FLAIR MRI.
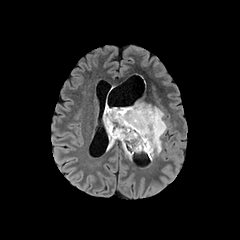
T1-weighted MRI.
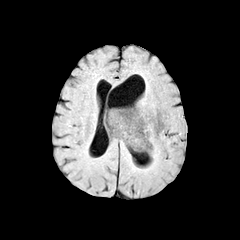
Post-contrast T1-weighted magnetic resonance.
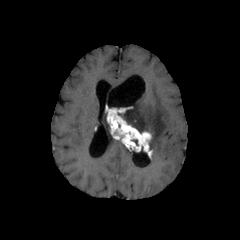
T2-weighted magnetic resonance.
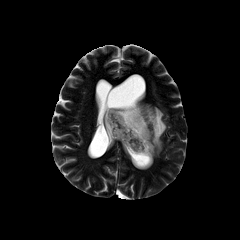
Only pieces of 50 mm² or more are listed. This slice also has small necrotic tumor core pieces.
enhancing_tumor:
  - (x1=105, y1=105, x2=152, y2=157)
peritumoral_edema:
  - (x1=122, y1=143, x2=131, y2=159)
  - (x1=103, y1=110, x2=115, y2=150)
  - (x1=118, y1=101, x2=166, y2=159)